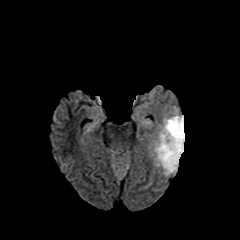
FLAIR MR image.
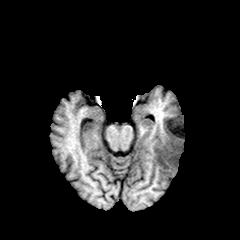
T1-weighted MRI of the same slice.
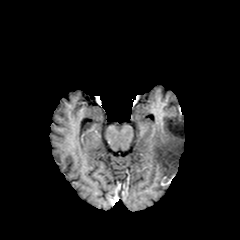
Same slice, post-contrast T1-weighted magnetic resonance.
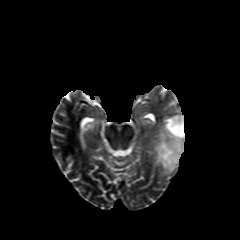
T2-weighted MR image.
Image size 240x240.
peritumoral edema: bounding box (left=153, top=108, right=184, bottom=174)